FLAIR MRI.
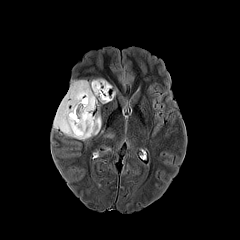
T1-weighted magnetic resonance.
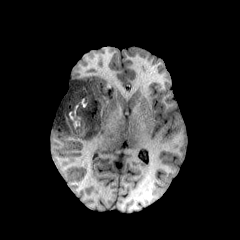
Post-contrast T1-weighted MR.
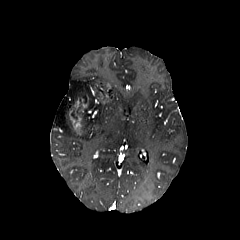
T2-weighted MR image.
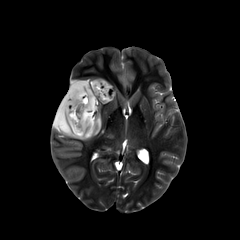
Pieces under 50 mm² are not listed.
necrotic tumor core at left=71, top=82, right=109, bottom=135
enhancing tumor at left=79, top=95, right=88, bottom=112; left=68, top=97, right=82, bottom=135
peritumoral edema at left=53, top=78, right=107, bottom=140